Brain.
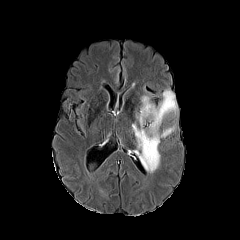
FLAIR magnetic resonance.
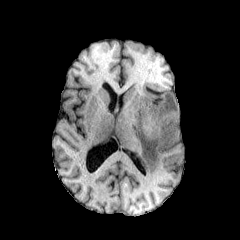
T1-weighted MRI of the same slice.
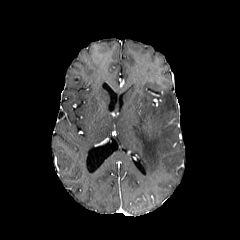
Post-contrast T1-weighted MR.
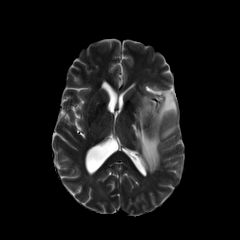
T2-weighted MR image of the same slice.
{"peritumoral_edema": ["(132,90,177,172)"]}